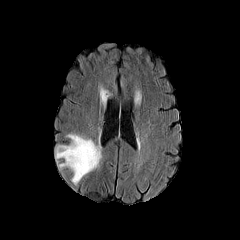
FLAIR MR image.
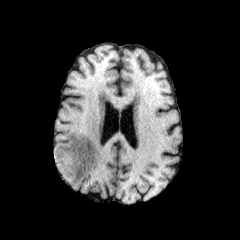
Same slice, T1-weighted MRI.
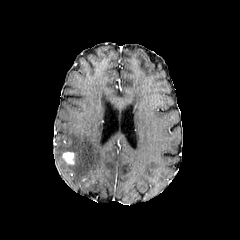
Same slice, post-contrast T1-weighted MR.
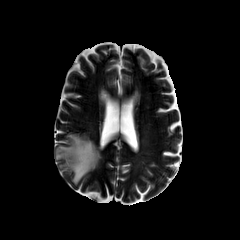
Same slice, T2-weighted MRI.
peritumoral edema: region(55, 133, 101, 184) | enhancing tumor: region(62, 152, 75, 164)